Slice 84 of 155, Axial view, Head
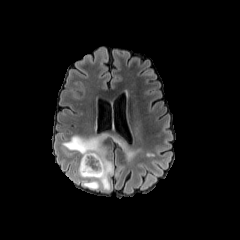
FLAIR magnetic resonance.
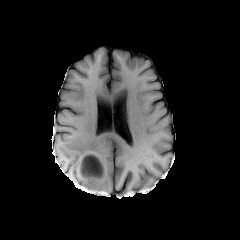
T1-weighted magnetic resonance.
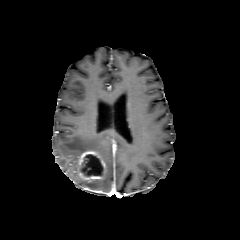
Post-contrast T1-weighted MR image of the same slice.
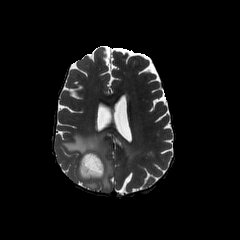
T2-weighted magnetic resonance.
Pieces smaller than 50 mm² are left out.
peritumoral edema: [x1=62, y1=132, x2=141, y2=190] | necrotic tumor core: [x1=81, y1=154, x2=102, y2=176] | enhancing tumor: [x1=78, y1=151, x2=105, y2=181]